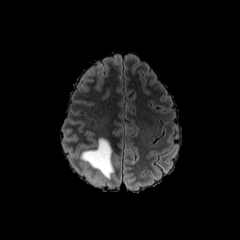
FLAIR magnetic resonance.
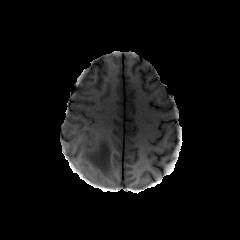
T1-weighted MRI of the same slice.
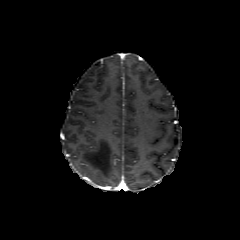
Post-contrast T1-weighted MRI.
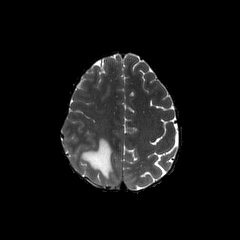
T2-weighted magnetic resonance.
Brain
peritumoral edema: bounding box <box>80,138,114,178</box>